FLAIR MR.
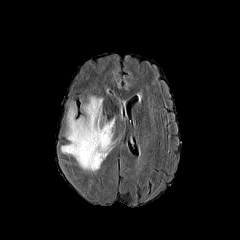
T1-weighted magnetic resonance.
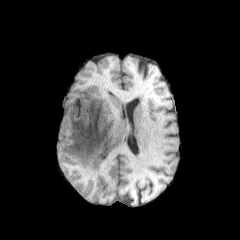
Post-contrast T1-weighted MRI.
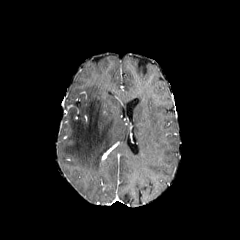
T2-weighted MR.
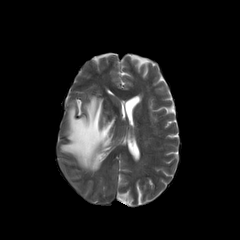
Axial view; 240x240 px
The peritumoral edema lies within l=61, t=96, r=117, b=171.